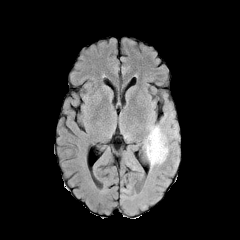
FLAIR MRI.
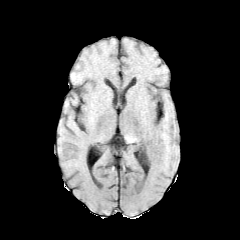
Same slice, T1-weighted magnetic resonance.
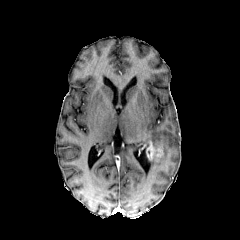
Same slice, post-contrast T1-weighted MR.
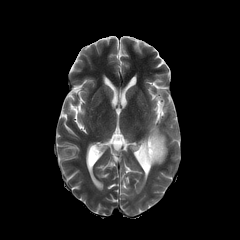
T2-weighted MR.
240x240 | Head | Axial slice
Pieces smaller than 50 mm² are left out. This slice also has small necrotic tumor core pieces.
enhancing tumor at (x1=147, y1=139, x2=163, y2=161)
peritumoral edema at (x1=143, y1=125, x2=168, y2=168)